Brain. Image width 240 mm. Axial view. Image size 240x240.
FLAIR MR.
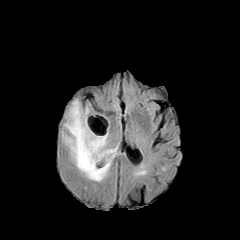
T1-weighted magnetic resonance.
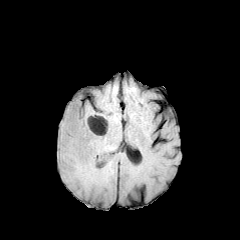
Post-contrast T1-weighted MRI.
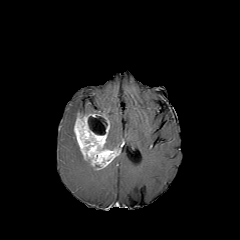
T2-weighted MRI.
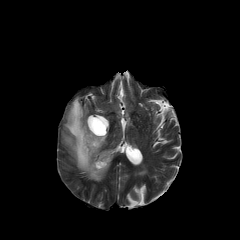
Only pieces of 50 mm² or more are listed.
Annotated regions:
- enhancing tumor: 74,113,118,169
- peritumoral edema: 62,98,111,181; 104,136,118,149
- necrotic tumor core: 88,115,107,134